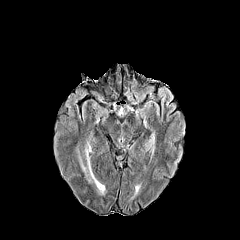
FLAIR MR image.
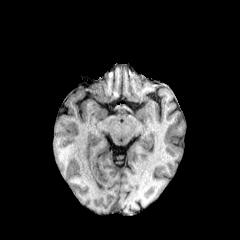
T1-weighted MRI.
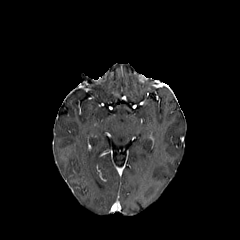
Post-contrast T1-weighted magnetic resonance.
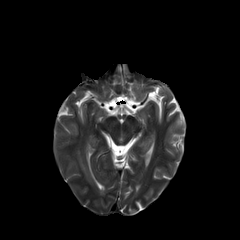
Same slice, T2-weighted magnetic resonance.
Image size 240x240
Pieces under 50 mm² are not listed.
The largest peritumoral edema region is bounded by (85,149,105,194).